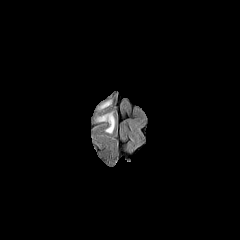
FLAIR MRI.
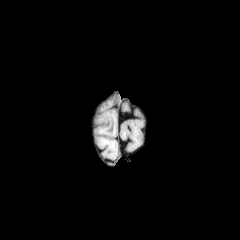
T1-weighted MR image.
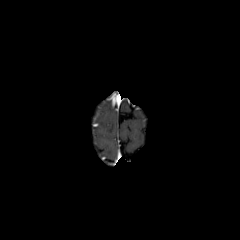
Post-contrast T1-weighted MR.
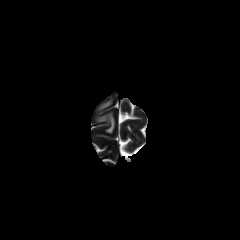
Same slice, T2-weighted MR.
Axial view, 240x240 px
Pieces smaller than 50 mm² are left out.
<segmentation>
  <peritumoral_edema>(98, 113, 114, 133)</peritumoral_edema>
</segmentation>